240x240. Axial view.
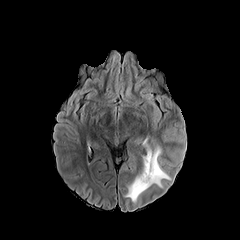
FLAIR MR.
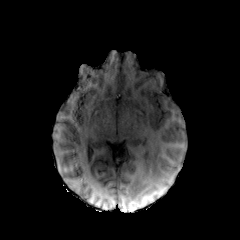
Same slice, T1-weighted MR image.
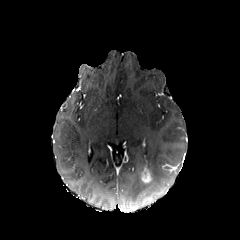
Post-contrast T1-weighted magnetic resonance of the same slice.
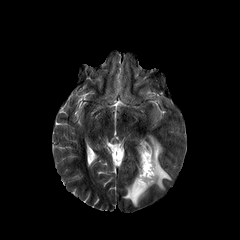
Same slice, T2-weighted magnetic resonance.
enhancing tumor — x1=141, y1=163, x2=152, y2=183
peritumoral edema — x1=122, y1=139, x2=172, y2=202